Brain, Axial view
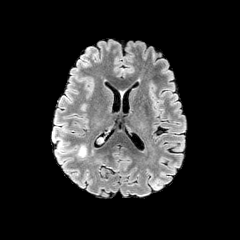
FLAIR MRI.
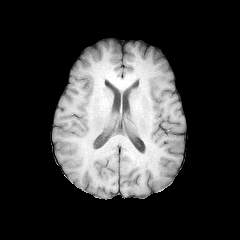
T1-weighted MR.
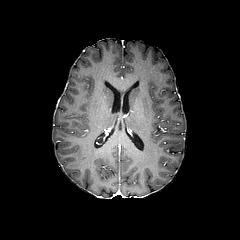
Post-contrast T1-weighted magnetic resonance of the same slice.
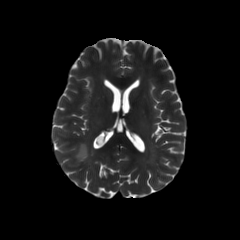
T2-weighted MR image.
peritumoral edema: 76,144,87,159